Image size 240x240
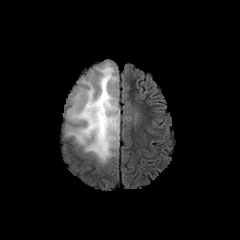
FLAIR MRI.
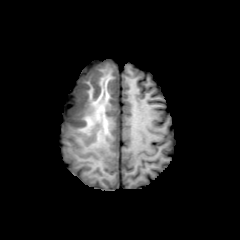
Same slice, T1-weighted magnetic resonance.
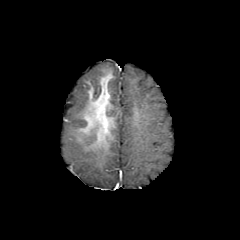
Post-contrast T1-weighted MRI.
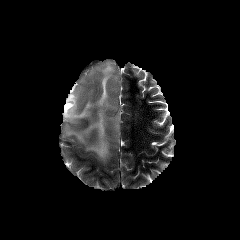
Same slice, T2-weighted MR image.
Segmented structures:
- peritumoral edema: (x1=64, y1=61, x2=119, y2=164)